Image size 240x240. Image width 240 mm, 1.00 mm slice spacing.
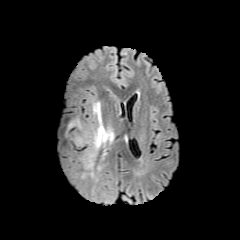
FLAIR MR.
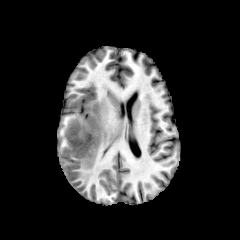
T1-weighted MR image.
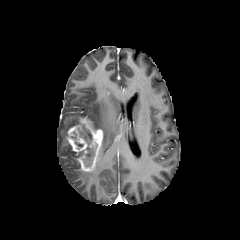
Same slice, post-contrast T1-weighted MR.
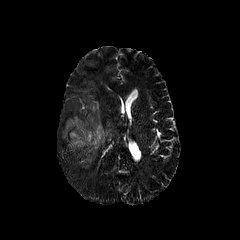
T2-weighted MR of the same slice.
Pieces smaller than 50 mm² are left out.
enhancing tumor = (67, 118, 102, 171)
necrotic tumor core = (80, 125, 91, 140), (84, 147, 94, 166)
peritumoral edema = (80, 166, 101, 182), (68, 116, 79, 128), (89, 100, 114, 150)